Axial slice | Brain
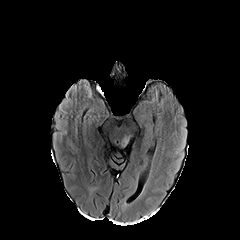
FLAIR MR image.
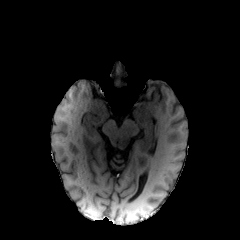
Same slice, T1-weighted magnetic resonance.
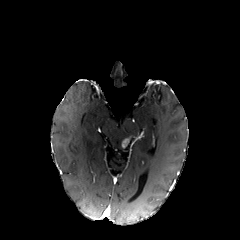
Post-contrast T1-weighted MR.
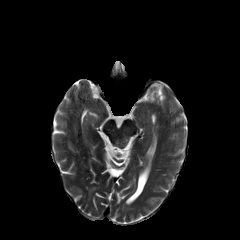
Same slice, T2-weighted magnetic resonance.
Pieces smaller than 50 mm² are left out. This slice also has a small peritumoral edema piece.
enhancing tumor: [x1=122, y1=136, x2=131, y2=148]